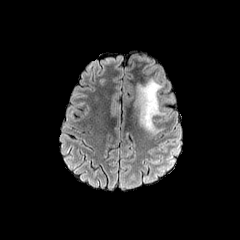
FLAIR MR.
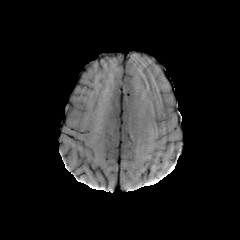
Same slice, T1-weighted MR.
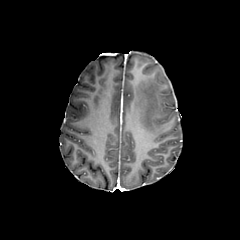
Post-contrast T1-weighted MR of the same slice.
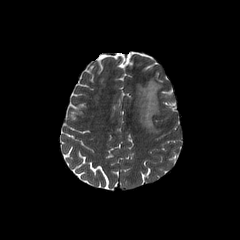
Same slice, T2-weighted magnetic resonance.
Axial slice | Brain | Image size 240x240
peritumoral_edema:
  - [133, 79, 165, 134]